FLAIR magnetic resonance.
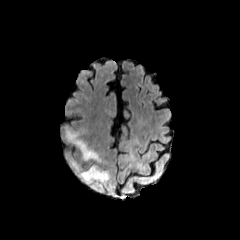
T1-weighted MR.
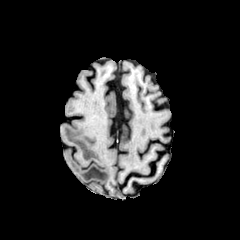
Post-contrast T1-weighted MR.
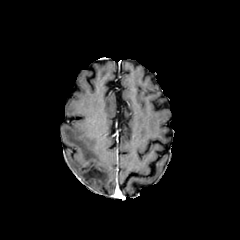
T2-weighted MRI.
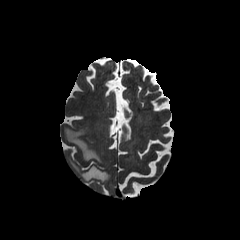
Brain.
2 peritumoral edema regions are bounded by <bbox>70, 160, 109, 184</bbox>, <bbox>64, 127, 100, 161</bbox>.